FLAIR MR image.
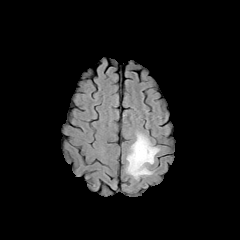
T1-weighted magnetic resonance.
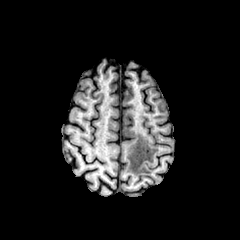
Post-contrast T1-weighted magnetic resonance.
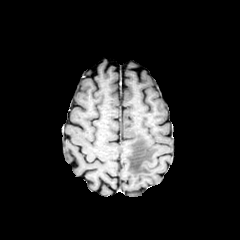
T2-weighted MR.
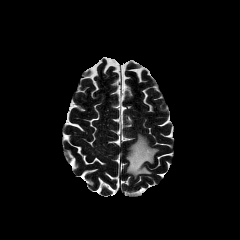
Head
The peritumoral edema is located at x1=126, y1=132, x2=159, y2=178.